Image width 240 mm, 1.00 mm slice spacing, Axial slice, Brain
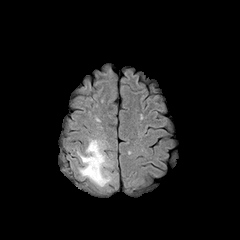
FLAIR magnetic resonance.
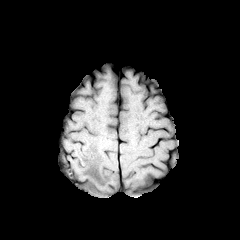
T1-weighted magnetic resonance.
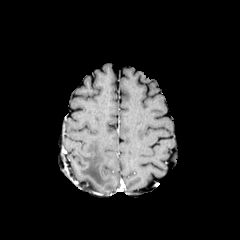
Same slice, post-contrast T1-weighted MRI.
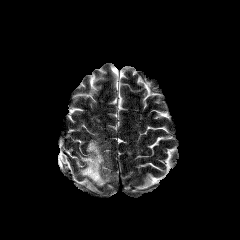
T2-weighted MR.
<segmentation>
  <peritumoral_edema>79, 140, 111, 186</peritumoral_edema>
</segmentation>